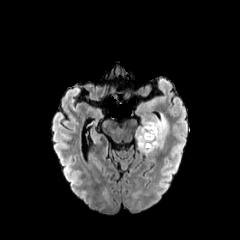
FLAIR magnetic resonance.
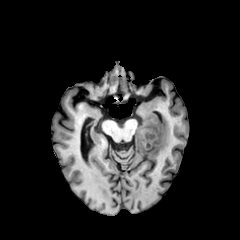
Same slice, T1-weighted MRI.
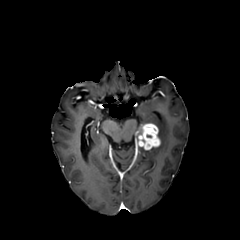
Post-contrast T1-weighted MRI.
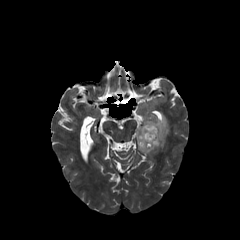
T2-weighted MR image of the same slice.
Brain | 240x240 px
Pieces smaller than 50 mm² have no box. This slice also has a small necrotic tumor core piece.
<segmentation>
  <enhancing_tumor>l=135, t=123, r=160, b=150</enhancing_tumor>
  <peritumoral_edema>l=138, t=114, r=168, b=154</peritumoral_edema>
</segmentation>